Brain | Slice 78/155 | Image width 240 mm
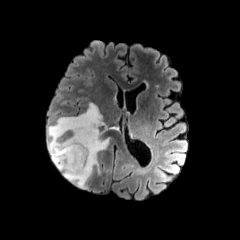
FLAIR MR.
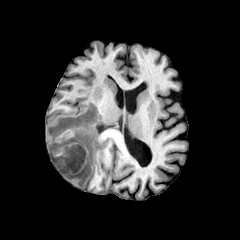
T1-weighted MR image of the same slice.
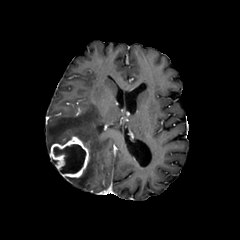
Post-contrast T1-weighted MR image.
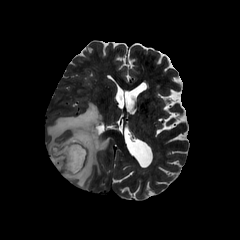
Same slice, T2-weighted magnetic resonance.
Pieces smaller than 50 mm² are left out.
peritumoral_edema:
  - (x1=47, y1=103, x2=109, y2=187)
enhancing_tumor:
  - (x1=50, y1=136, x2=89, y2=177)
necrotic_tumor_core:
  - (x1=53, y1=144, x2=85, y2=173)